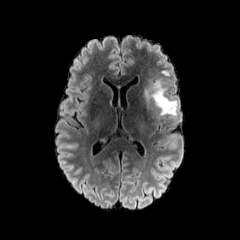
FLAIR MRI.
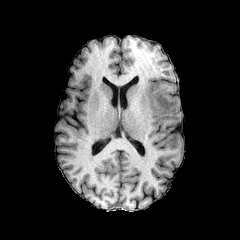
T1-weighted magnetic resonance.
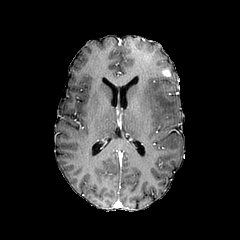
Post-contrast T1-weighted MRI of the same slice.
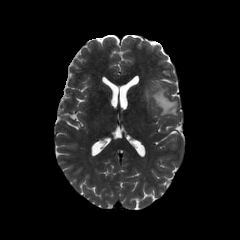
T2-weighted magnetic resonance.
Head | Axial plane
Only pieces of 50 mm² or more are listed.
enhancing tumor: bounding box l=162, t=69, r=170, b=76
peritumoral edema: bounding box l=143, t=81, r=177, b=115